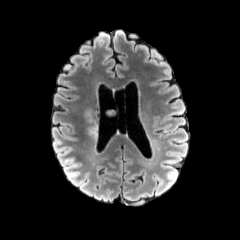
FLAIR MR.
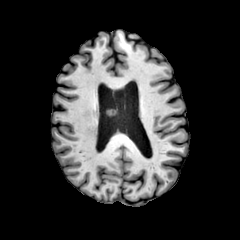
T1-weighted MR of the same slice.
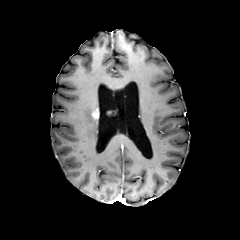
Post-contrast T1-weighted MR.
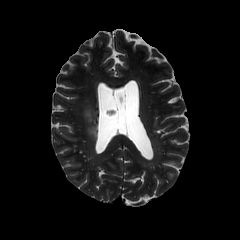
Same slice, T2-weighted MR image.
Brain
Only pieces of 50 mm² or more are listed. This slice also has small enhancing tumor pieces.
peritumoral edema at box(85, 109, 97, 138)